Slice 73/155; Head; Image covers 240 mm x 240 mm
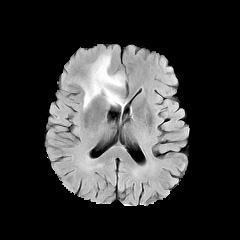
FLAIR magnetic resonance.
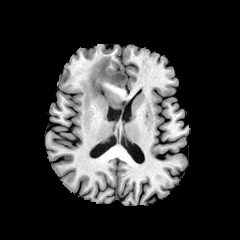
T1-weighted MRI.
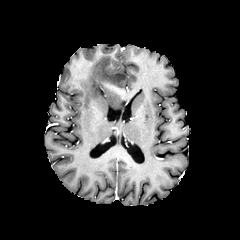
Post-contrast T1-weighted magnetic resonance.
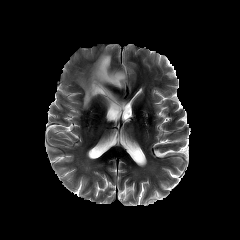
Same slice, T2-weighted magnetic resonance.
<segmentation>
  <peritumoral_edema><bbox>79, 54, 125, 109</bbox></peritumoral_edema>
</segmentation>